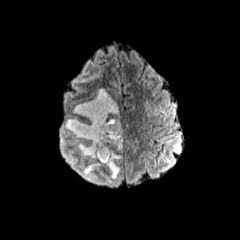
FLAIR MR image.
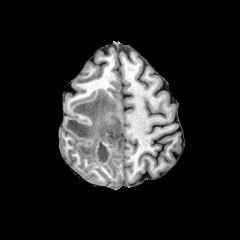
T1-weighted MR of the same slice.
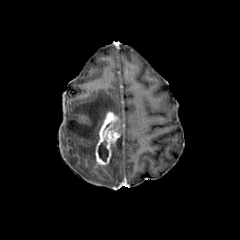
Post-contrast T1-weighted MR image of the same slice.
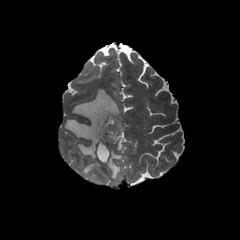
Same slice, T2-weighted MR image.
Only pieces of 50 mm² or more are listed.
{
  "necrotic_tumor_core": [
    "(left=98, top=121, right=120, bottom=161)"
  ],
  "enhancing_tumor": [
    "(left=95, top=110, right=122, bottom=166)"
  ],
  "peritumoral_edema": [
    "(left=65, top=88, right=120, bottom=179)",
    "(left=105, top=133, right=123, bottom=179)"
  ]
}